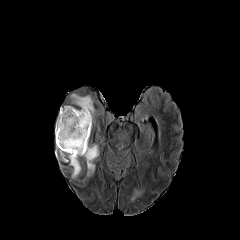
FLAIR MR image.
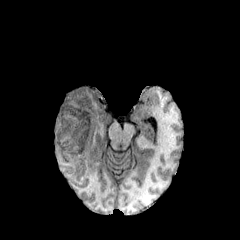
T1-weighted MR image.
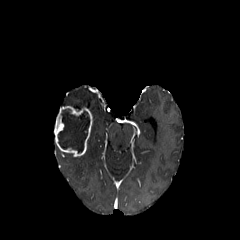
Same slice, post-contrast T1-weighted MRI.
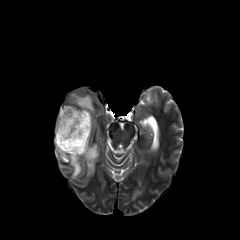
T2-weighted MR.
Head, Axial plane
Findings:
- peritumoral edema: (59,151,81,178), (70,93,95,122), (82,140,98,176), (130,187,144,202)
- necrotic tumor core: (58,108,89,153)
- enhancing tumor: (54,106,92,156)